FLAIR MR.
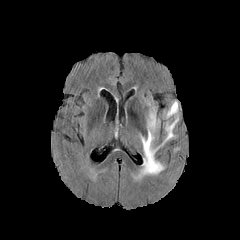
T1-weighted MRI.
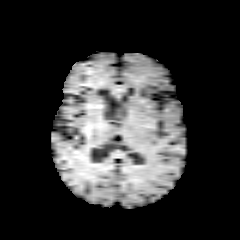
Post-contrast T1-weighted MR image.
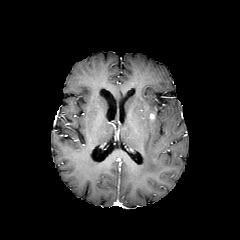
T2-weighted MR image.
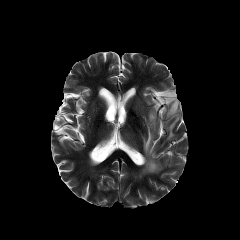
Head
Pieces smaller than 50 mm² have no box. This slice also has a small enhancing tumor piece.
2 peritumoral edema regions are bounded by x1=141, y1=108, x2=163, y2=174; x1=164, y1=101, x2=178, y2=141.